Image width 240 mm. Brain. 240x240 px.
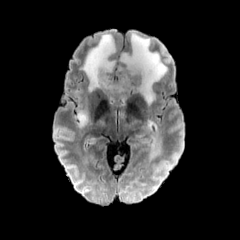
FLAIR MR image.
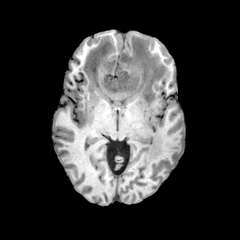
T1-weighted MRI of the same slice.
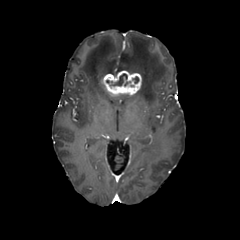
Post-contrast T1-weighted MR image of the same slice.
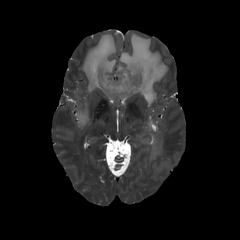
T2-weighted MR of the same slice.
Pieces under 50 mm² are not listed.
necrotic tumor core: (x1=113, y1=74, x2=127, y2=85) | peritumoral edema: (x1=133, y1=120, x2=160, y2=158), (x1=81, y1=34, x2=116, y2=97), (x1=116, y1=32, x2=167, y2=104), (x1=73, y1=90, x2=89, y2=127) | enhancing tumor: (x1=100, y1=70, x2=141, y2=96)